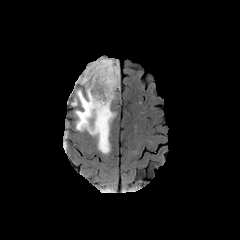
FLAIR MR image.
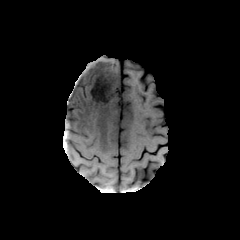
Same slice, T1-weighted MR image.
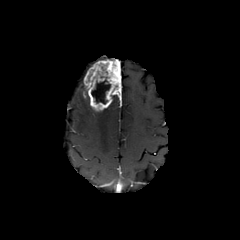
Post-contrast T1-weighted MRI of the same slice.
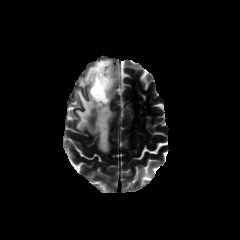
T2-weighted MR image.
Head.
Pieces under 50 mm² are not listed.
The necrotic tumor core appears at left=91, top=80, right=110, bottom=103. The enhancing tumor lies within left=83, top=59, right=121, bottom=111. The 2 largest peritumoral edema regions are bounded by left=70, top=87, right=116, bottom=154; left=76, top=61, right=96, bottom=86.